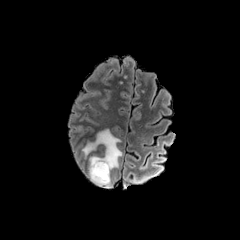
FLAIR MR image.
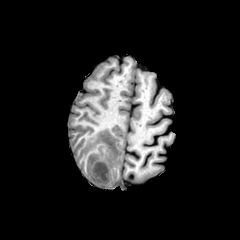
Same slice, T1-weighted MRI.
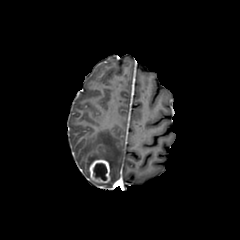
Post-contrast T1-weighted MR image.
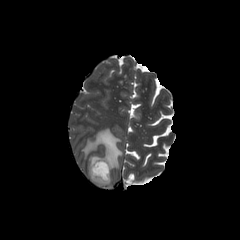
T2-weighted MR of the same slice.
Head; Image size 240x240
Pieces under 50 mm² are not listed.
The enhancing tumor is at <bbox>89, 159, 110, 188</bbox>. The largest peritumoral edema region is bounded by <bbox>82, 128, 122, 187</bbox>. The necrotic tumor core is at <bbox>93, 163, 107, 180</bbox>.